Slice index 110
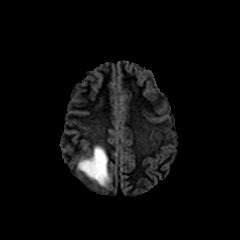
FLAIR magnetic resonance.
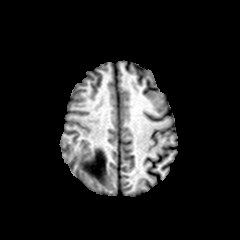
Same slice, T1-weighted MRI.
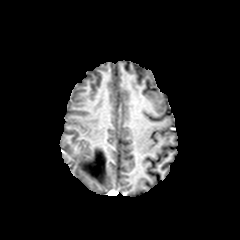
Same slice, post-contrast T1-weighted MRI.
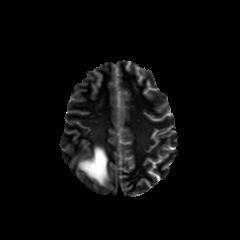
T2-weighted MRI.
{"peritumoral_edema": ["78, 146, 110, 186"]}